Image width 240 mm | Brain | Axial view | 240x240 px | Slice 70 of 155
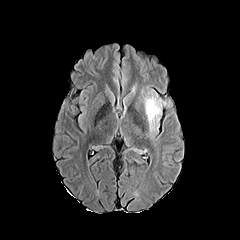
FLAIR MRI.
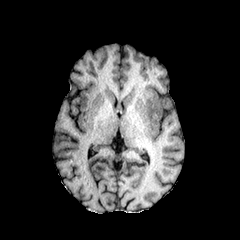
T1-weighted magnetic resonance of the same slice.
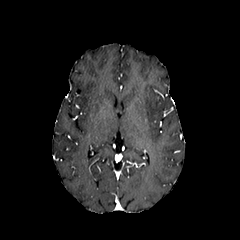
Post-contrast T1-weighted magnetic resonance.
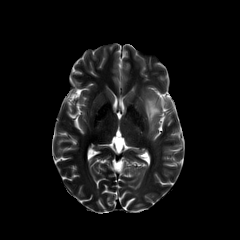
T2-weighted magnetic resonance.
The peritumoral edema appears at [x1=145, y1=97, x2=166, y2=129].